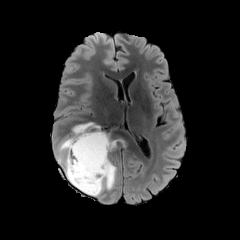
FLAIR magnetic resonance.
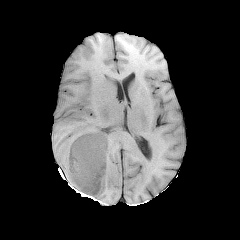
T1-weighted MR image.
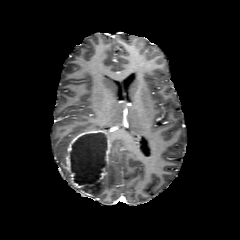
Post-contrast T1-weighted MR.
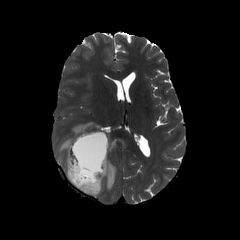
T2-weighted magnetic resonance.
Axial plane | Head
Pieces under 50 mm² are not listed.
peritumoral edema — <bbox>95, 160, 116, 196</bbox>, <bbox>56, 122, 100, 180</bbox>
necrotic tumor core — <bbox>70, 133, 107, 193</bbox>
enhancing tumor — <bbox>66, 131, 101, 197</bbox>, <bbox>99, 138, 110, 182</bbox>